Image width 240 mm | Axial view | 240x240
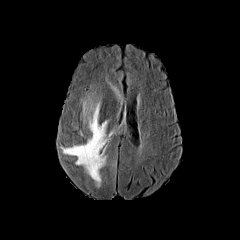
FLAIR MRI.
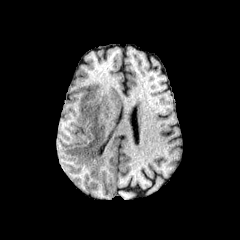
Same slice, T1-weighted MRI.
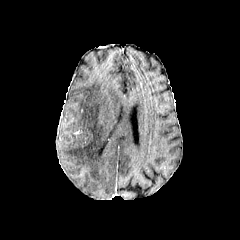
Post-contrast T1-weighted magnetic resonance of the same slice.
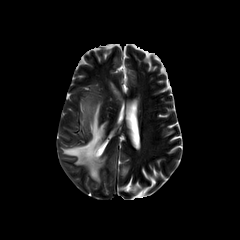
Same slice, T2-weighted MR image.
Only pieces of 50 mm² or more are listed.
peritumoral edema — x1=61 y1=94 x2=107 y2=187, x1=109 y1=83 x2=122 y2=104